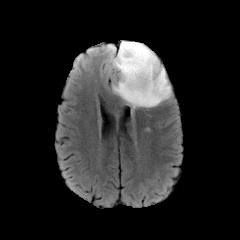
FLAIR magnetic resonance.
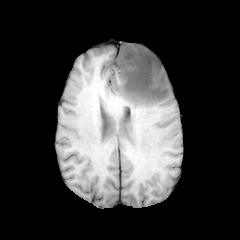
T1-weighted MRI.
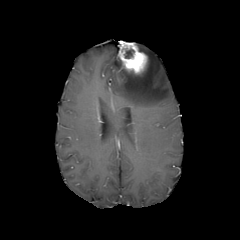
Post-contrast T1-weighted magnetic resonance.
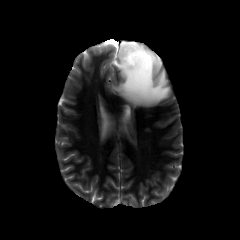
T2-weighted MRI.
Axial slice.
enhancing tumor: (118,41,147,74)
peritumoral edema: (109,43,171,108)
necrotic tumor core: (125,49,133,58)